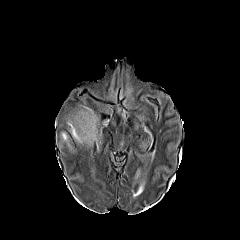
FLAIR MRI.
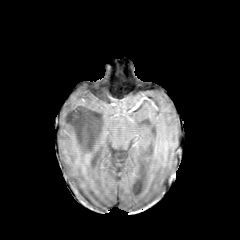
T1-weighted MR image.
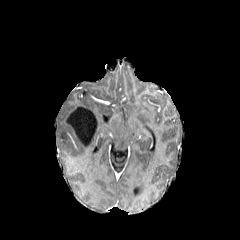
Post-contrast T1-weighted MRI of the same slice.
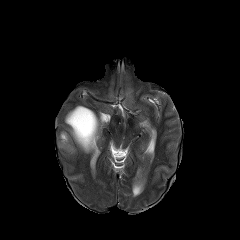
T2-weighted MR image.
240x240 px.
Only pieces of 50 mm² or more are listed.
* peritumoral edema: <box>60,105,100,151</box>
* necrotic tumor core: <box>66,107,97,146</box>